Slice 46 of 155; Head; Axial slice; 240x240
FLAIR MR.
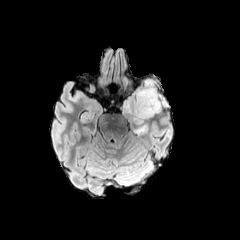
T1-weighted MR image.
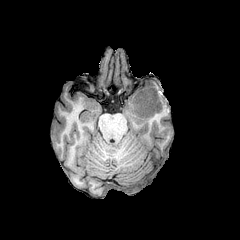
Post-contrast T1-weighted MR.
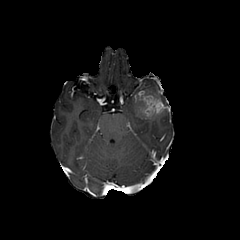
T2-weighted MR image.
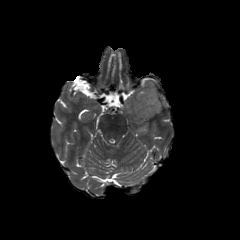
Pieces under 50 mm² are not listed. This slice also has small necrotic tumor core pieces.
<segmentation>
  <peritumoral_edema>x1=132 y1=124 x2=148 y2=134, x1=121 y1=78 x2=168 y2=124</peritumoral_edema>
  <enhancing_tumor>x1=135 y1=90 x2=168 y2=118</enhancing_tumor>
</segmentation>